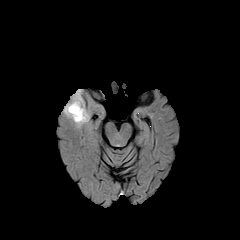
FLAIR MR.
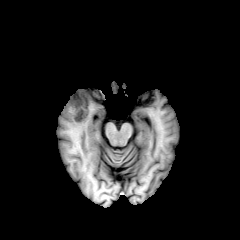
T1-weighted MR of the same slice.
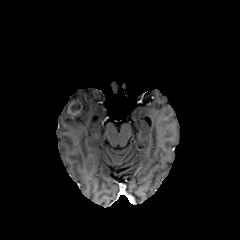
Post-contrast T1-weighted magnetic resonance of the same slice.
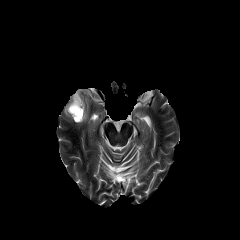
T2-weighted MRI.
Head.
Segmented structures:
• peritumoral edema: box(63, 89, 89, 127)
• enhancing tumor: box(67, 99, 82, 118)
• necrotic tumor core: box(70, 100, 80, 112)